FLAIR MRI.
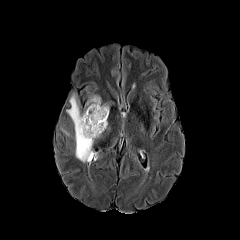
T1-weighted MR.
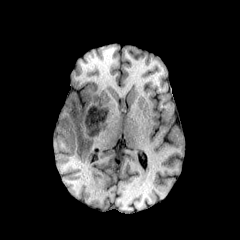
Post-contrast T1-weighted MRI.
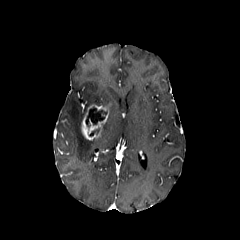
T2-weighted MR image.
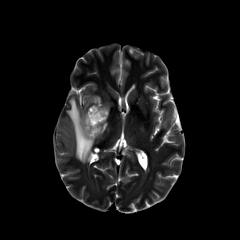
Head, Axial slice
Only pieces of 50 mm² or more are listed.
peritumoral edema: bounding box [x1=66, y1=93, x2=94, y2=162], [x1=86, y1=95, x2=100, y2=107]
necrotic tumor core: bounding box [x1=85, y1=107, x2=107, y2=126]
enhancing tumor: bounding box [x1=81, y1=104, x2=109, y2=140]